240x240 px; Brain; Slice 129/155
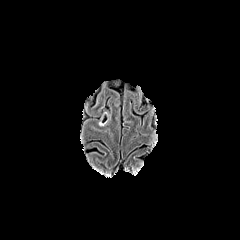
FLAIR magnetic resonance.
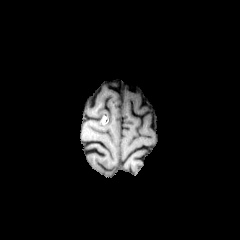
T1-weighted MR.
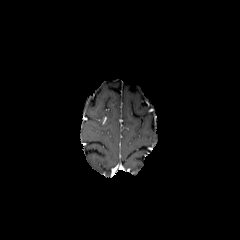
Post-contrast T1-weighted MR.
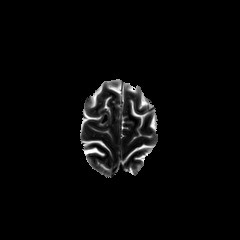
T2-weighted MR.
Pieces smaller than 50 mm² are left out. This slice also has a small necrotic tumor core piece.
- peritumoral edema: (99,113,107,126)